Image width 240 mm, 1.00 mm slice spacing.
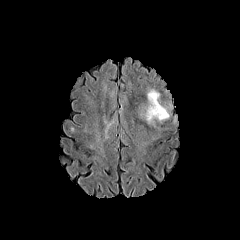
FLAIR magnetic resonance.
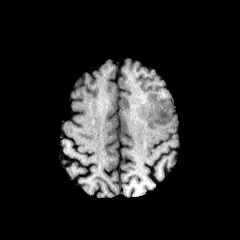
Same slice, T1-weighted MR image.
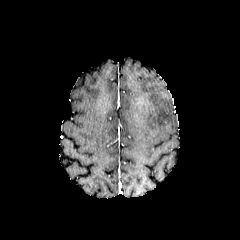
Same slice, post-contrast T1-weighted MR.
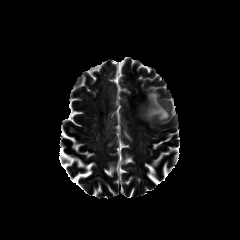
Same slice, T2-weighted magnetic resonance.
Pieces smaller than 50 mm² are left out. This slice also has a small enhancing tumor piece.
The largest peritumoral edema region is bounded by 140 89 169 123.